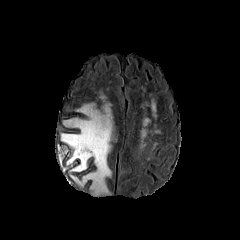
FLAIR magnetic resonance.
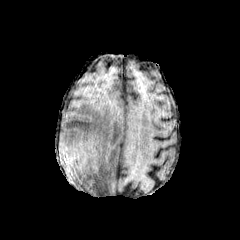
T1-weighted magnetic resonance of the same slice.
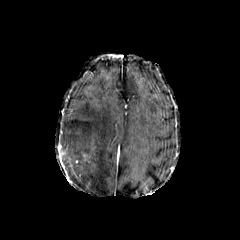
Post-contrast T1-weighted MR image.
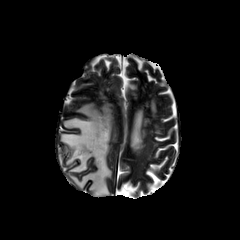
Same slice, T2-weighted MRI.
Head.
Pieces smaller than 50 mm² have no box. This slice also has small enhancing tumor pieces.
peritumoral edema: bounding box rect(61, 104, 112, 194)